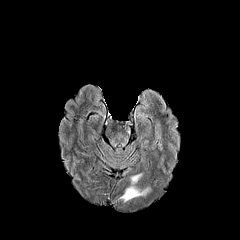
FLAIR MRI.
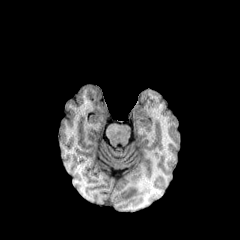
T1-weighted MR image.
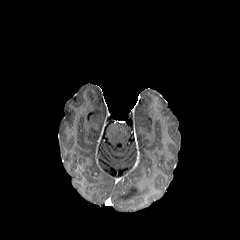
Post-contrast T1-weighted MR image.
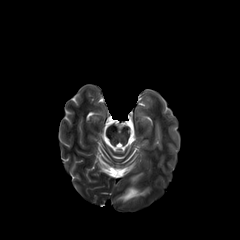
T2-weighted magnetic resonance.
Axial view
peritumoral edema: x1=119 y1=173 x2=150 y2=201